FLAIR MR.
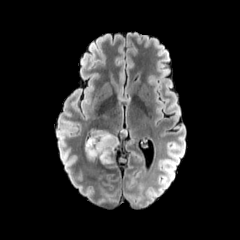
T1-weighted MRI.
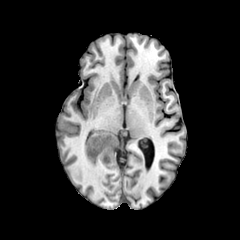
Post-contrast T1-weighted MRI.
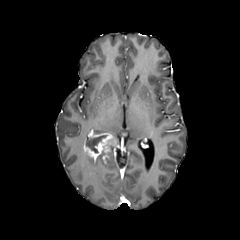
T2-weighted MR image.
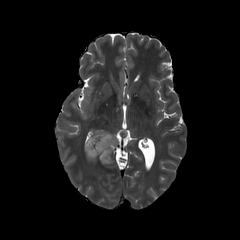
240x240 | Brain
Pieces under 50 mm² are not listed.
The enhancing tumor lies within bbox=[84, 132, 117, 162]. The necrotic tumor core is located at bbox=[86, 135, 106, 153]. The 2 largest peritumoral edema regions appear at bbox=[84, 152, 114, 165]; bbox=[94, 130, 119, 144].